Slice index 68
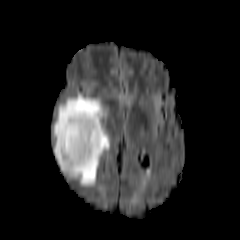
FLAIR MRI.
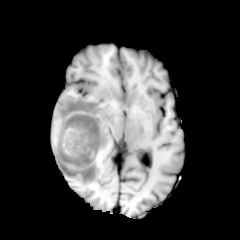
T1-weighted MR image of the same slice.
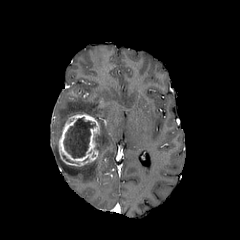
Post-contrast T1-weighted magnetic resonance of the same slice.
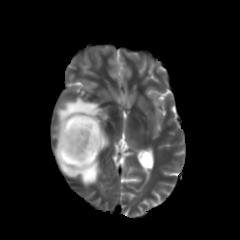
T2-weighted magnetic resonance.
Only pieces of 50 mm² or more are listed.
peritumoral edema: (53,92,110,187) | necrotic tumor core: (63,118,95,158), (95,136,100,149) | enhancing tumor: (58,112,100,166)